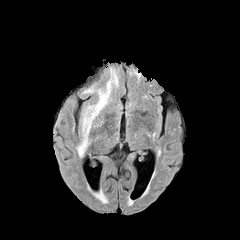
FLAIR MR image.
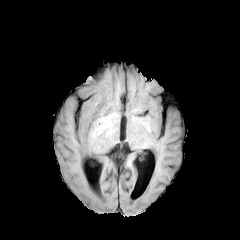
T1-weighted MR image.
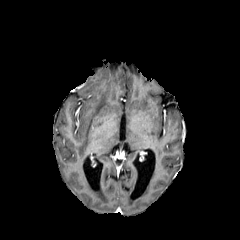
Same slice, post-contrast T1-weighted MR image.
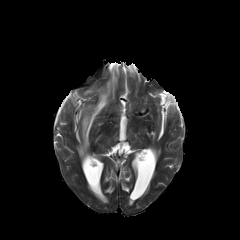
T2-weighted magnetic resonance.
Axial slice; Head
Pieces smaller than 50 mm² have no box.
peritumoral edema: 56, 103, 63, 131; 77, 67, 117, 156